FLAIR MR image.
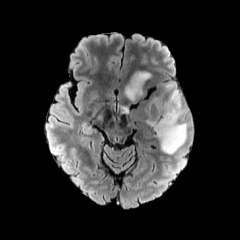
T1-weighted MR image.
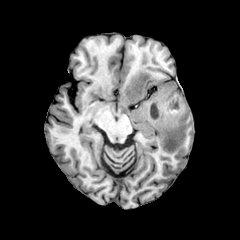
Post-contrast T1-weighted MRI.
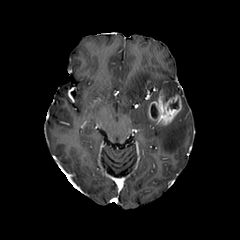
T2-weighted MR image.
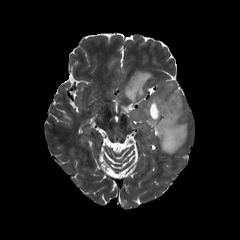
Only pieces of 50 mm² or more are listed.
necrotic tumor core — 170,99,178,108; 151,104,157,118
enhancing tumor — 148,90,181,125
peritumoral edema — 163,82,180,97; 146,103,187,154; 125,71,151,101